Brain. Slice 122 of 155. 240x240.
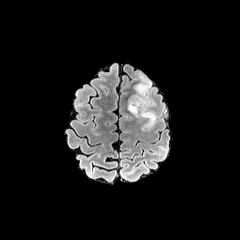
FLAIR MR image.
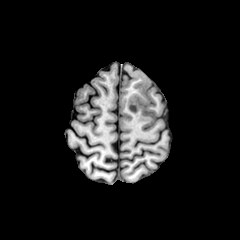
Same slice, T1-weighted MRI.
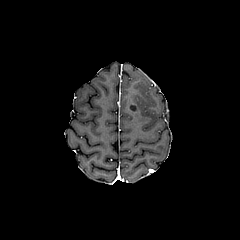
Post-contrast T1-weighted magnetic resonance.
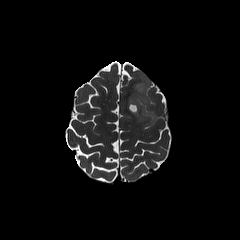
T2-weighted MR image.
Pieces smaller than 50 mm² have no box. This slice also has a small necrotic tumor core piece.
The enhancing tumor is bounded by [127, 100, 138, 113]. The peritumoral edema lies within [128, 74, 156, 127].